Axial slice; Slice 93/155; Brain
FLAIR MR.
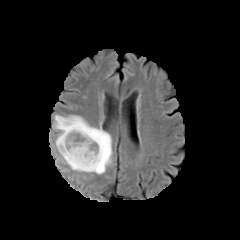
T1-weighted MR.
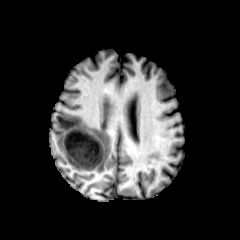
Post-contrast T1-weighted MR.
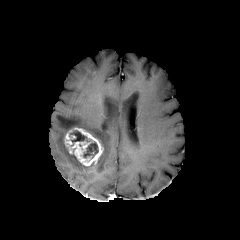
T2-weighted MRI.
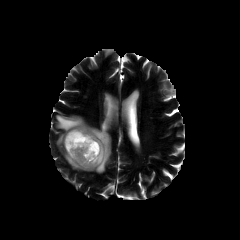
The enhancing tumor is located at 64, 127, 103, 166. 2 necrotic tumor core regions appear at 71, 130, 89, 142; 83, 142, 98, 157. The peritumoral edema is bounded by 54, 115, 112, 174.